Brain | Image width 240 mm, 1.00 mm slice spacing | Image size 240x240
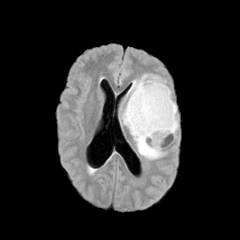
FLAIR MRI.
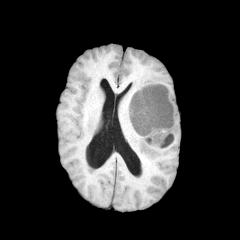
T1-weighted MR image of the same slice.
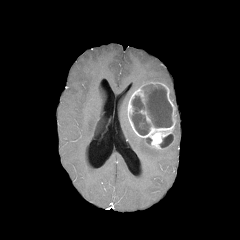
Post-contrast T1-weighted MRI.
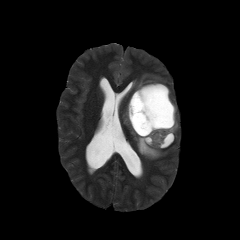
T2-weighted MR image of the same slice.
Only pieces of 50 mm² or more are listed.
peritumoral edema: bounding box l=128, t=74, r=165, b=96; l=173, t=115, r=178, b=133; l=122, t=100, r=164, b=159
necrotic tumor core: bounding box l=160, t=134, r=173, b=147; l=131, t=84, r=172, b=135
enhancing tumor: bounding box l=127, t=82, r=176, b=148